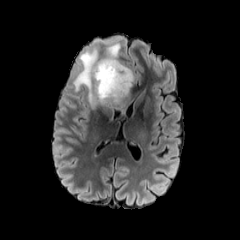
FLAIR magnetic resonance.
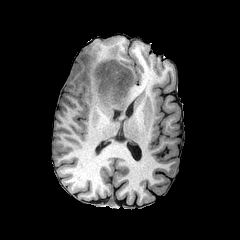
T1-weighted magnetic resonance.
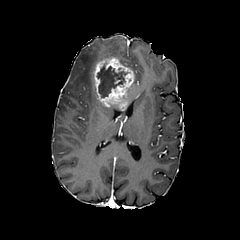
Same slice, post-contrast T1-weighted MR.
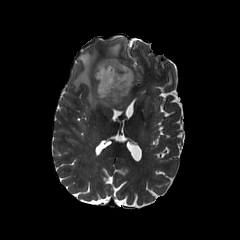
Same slice, T2-weighted MR image.
240x240 px
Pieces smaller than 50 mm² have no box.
Annotated regions:
* peritumoral edema: box=[73, 44, 119, 107]
* necrotic tumor core: box=[97, 64, 125, 97]
* enhancing tumor: box=[93, 57, 134, 108]